Slice 126 of 155.
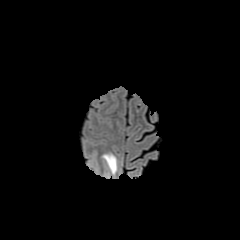
FLAIR MRI.
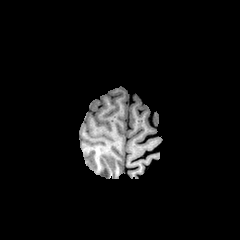
T1-weighted MRI.
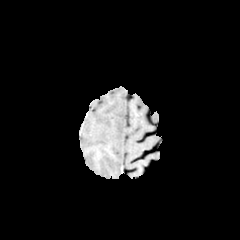
Post-contrast T1-weighted MRI of the same slice.
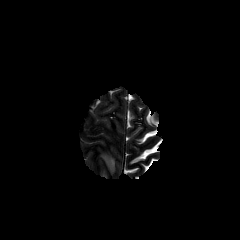
T2-weighted MRI of the same slice.
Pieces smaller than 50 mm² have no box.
peritumoral edema: 102 153 117 174